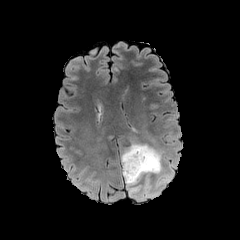
FLAIR MRI.
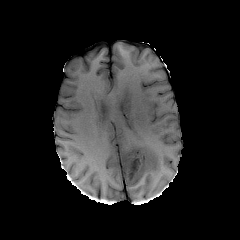
T1-weighted MRI of the same slice.
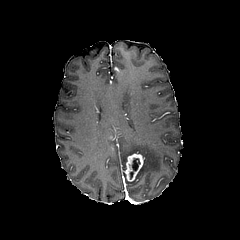
Same slice, post-contrast T1-weighted MRI.
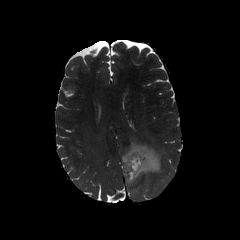
Same slice, T2-weighted MRI.
Axial slice
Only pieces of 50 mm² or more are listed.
Findings:
- necrotic tumor core: x1=132 y1=158 x2=140 y2=170
- enhancing tumor: x1=124 y1=152 x2=144 y2=181
- peritumoral edema: x1=121 y1=141 x2=166 y2=197